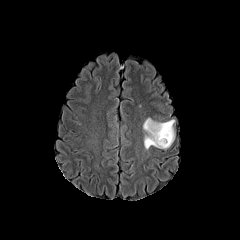
FLAIR MR.
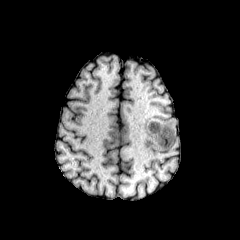
T1-weighted magnetic resonance.
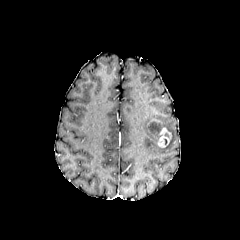
Post-contrast T1-weighted MR of the same slice.
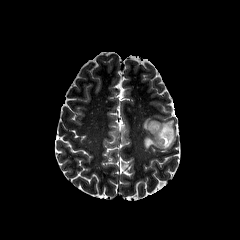
Same slice, T2-weighted MR image.
Head. 240x240 px.
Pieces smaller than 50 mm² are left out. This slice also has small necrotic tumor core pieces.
The enhancing tumor is at 157,127,171,147. The peritumoral edema is located at 143,118,174,149.